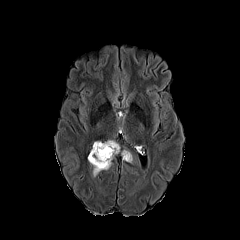
FLAIR MRI.
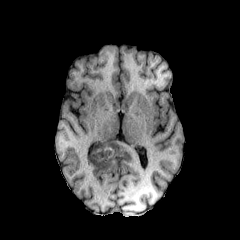
T1-weighted MR.
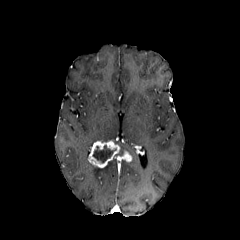
Post-contrast T1-weighted MRI of the same slice.
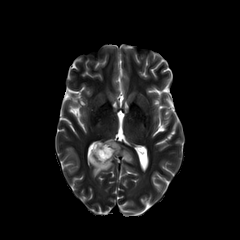
Same slice, T2-weighted MR image.
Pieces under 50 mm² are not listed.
2 enhancing tumor regions appear at [x1=121, y1=151, x2=132, y2=161], [x1=88, y1=140, x2=119, y2=167]. The largest peritumoral edema region appears at [x1=91, y1=161, x2=112, y2=176]. The necrotic tumor core lies within [x1=93, y1=145, x2=116, y2=162].